240x240
FLAIR MR image.
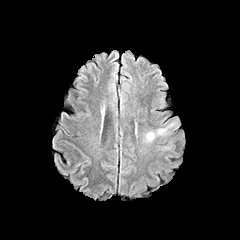
T1-weighted MR.
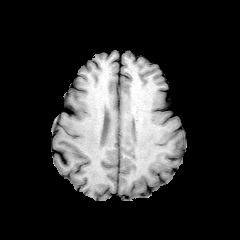
Post-contrast T1-weighted MR image.
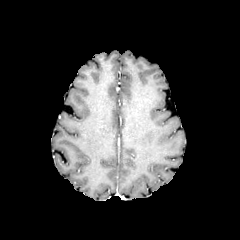
T2-weighted magnetic resonance.
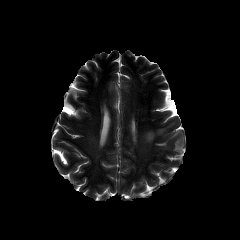
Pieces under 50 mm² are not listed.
The largest peritumoral edema region is at [145, 132, 155, 141].